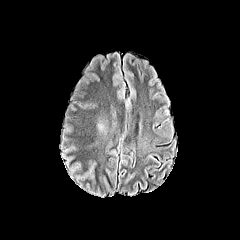
FLAIR MRI.
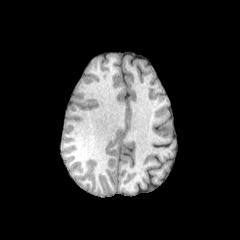
T1-weighted MR image of the same slice.
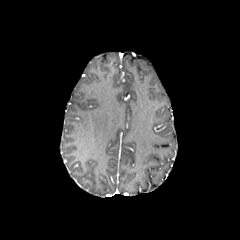
Post-contrast T1-weighted magnetic resonance.
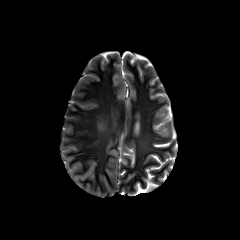
T2-weighted magnetic resonance.
Axial plane
{
  "peritumoral_edema": [
    "87 115 108 147"
  ]
}